Slice index 46; Image size 240x240; Head
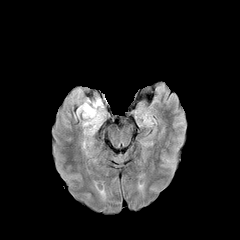
FLAIR MR image.
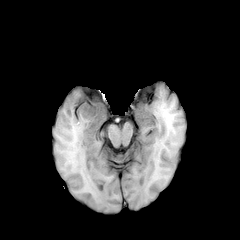
T1-weighted MR image.
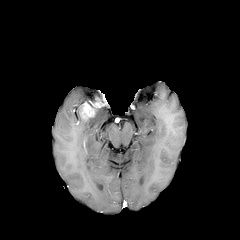
Post-contrast T1-weighted magnetic resonance of the same slice.
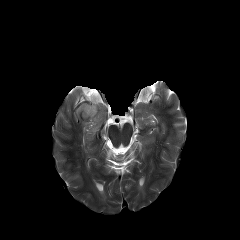
Same slice, T2-weighted magnetic resonance.
peritumoral edema at (x1=84, y1=112, x2=101, y2=129)
enhancing tumor at (x1=79, y1=94, x2=105, y2=120)